FLAIR MR.
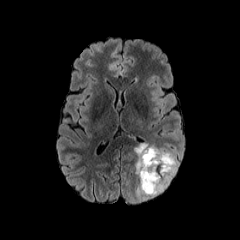
T1-weighted magnetic resonance.
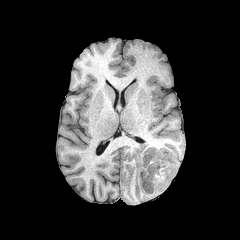
Post-contrast T1-weighted MR.
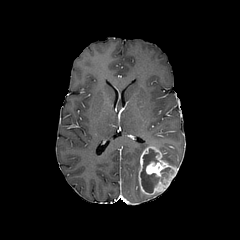
T2-weighted MRI.
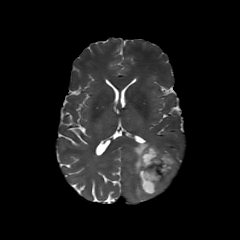
Head
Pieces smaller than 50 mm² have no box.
enhancing tumor: l=138, t=146, r=177, b=194 | necrotic tumor core: l=140, t=148, r=173, b=193 | peritumoral edema: l=159, t=149, r=178, b=168; l=134, t=142, r=160, b=199